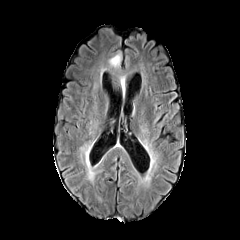
FLAIR MR.
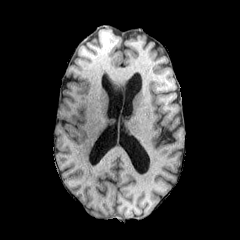
T1-weighted MR of the same slice.
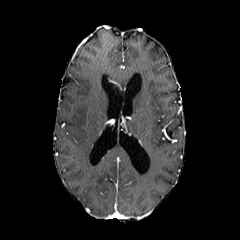
Post-contrast T1-weighted magnetic resonance.
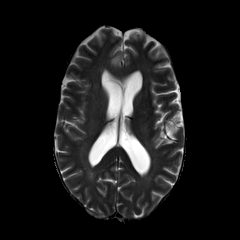
T2-weighted MR.
Brain
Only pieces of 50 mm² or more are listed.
The largest peritumoral edema region is bounded by rect(109, 54, 120, 67).